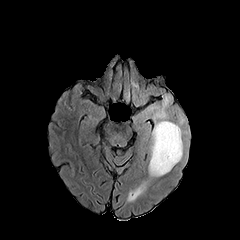
FLAIR MRI.
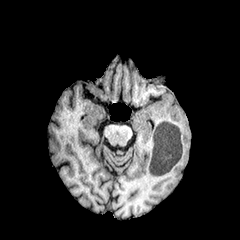
T1-weighted MR.
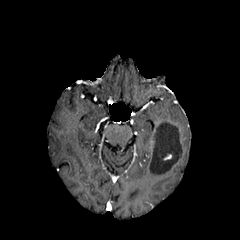
Same slice, post-contrast T1-weighted MR image.
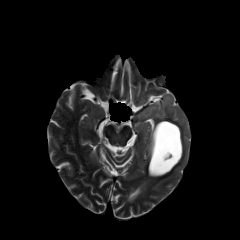
Same slice, T2-weighted MR image.
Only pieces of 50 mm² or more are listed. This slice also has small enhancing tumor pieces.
The necrotic tumor core is bounded by <box>151,122,181,173</box>. The 2 largest peritumoral edema regions are located at <box>148,129,183,176</box>, <box>144,95,182,138</box>.